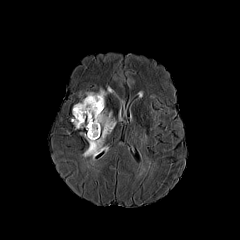
FLAIR MRI.
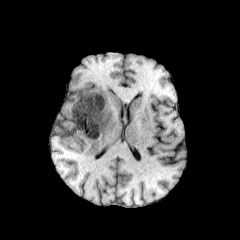
Same slice, T1-weighted MR image.
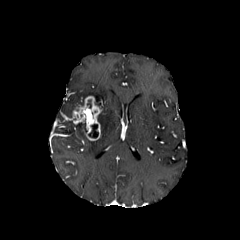
Post-contrast T1-weighted magnetic resonance of the same slice.
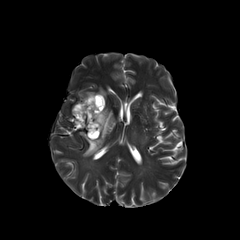
T2-weighted MR.
Brain
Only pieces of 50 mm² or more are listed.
Findings:
* necrotic tumor core: <bbox>88, 124, 98, 137</bbox>
* peritumoral edema: <bbox>83, 88, 115, 158</bbox>
* enhancing tumor: <bbox>71, 96, 102, 140</bbox>